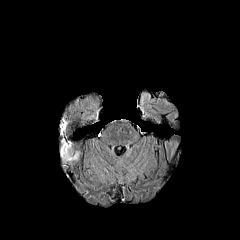
FLAIR MR.
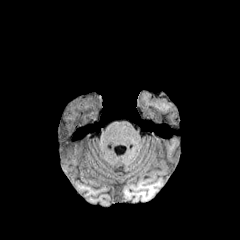
T1-weighted MR image of the same slice.
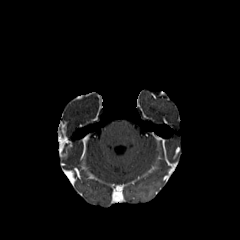
Same slice, post-contrast T1-weighted MR image.
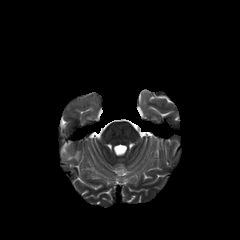
T2-weighted magnetic resonance.
Head
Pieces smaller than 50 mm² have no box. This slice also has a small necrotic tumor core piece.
{"enhancing_tumor": ["x1=58 y1=121 x2=72 y2=157"], "peritumoral_edema": ["x1=62 y1=150 x2=79 y2=161"]}